Head. 240x240.
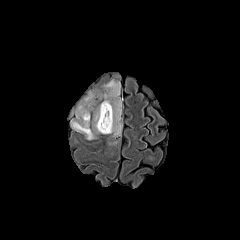
FLAIR magnetic resonance.
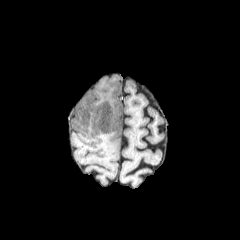
T1-weighted MR image.
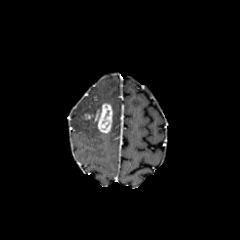
Post-contrast T1-weighted MRI.
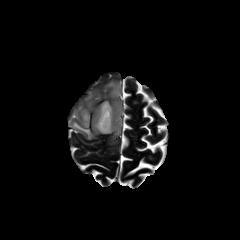
T2-weighted magnetic resonance of the same slice.
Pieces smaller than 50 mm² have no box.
Findings:
- enhancing tumor: (94,103,112,133)
- peritumoral edema: (99,79,121,137), (71,90,102,139)